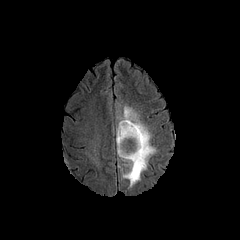
FLAIR MRI.
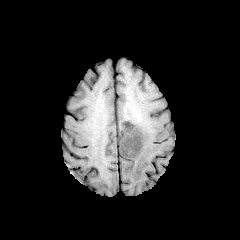
T1-weighted magnetic resonance.
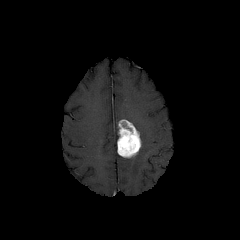
Post-contrast T1-weighted MR image.
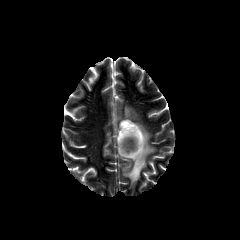
T2-weighted MR.
Axial plane | 240x240 px
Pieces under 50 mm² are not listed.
peritumoral edema — <bbox>117, 105, 156, 186</bbox>
enhancing tumor — <bbox>117, 119, 141, 158</bbox>